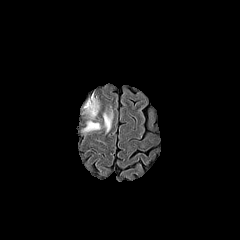
FLAIR magnetic resonance.
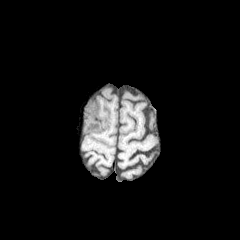
T1-weighted magnetic resonance of the same slice.
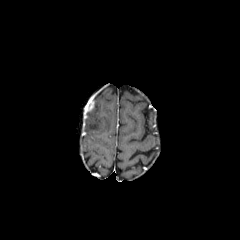
Same slice, post-contrast T1-weighted MRI.
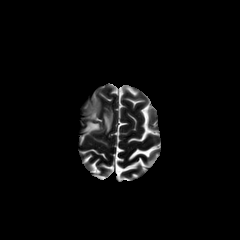
T2-weighted MRI of the same slice.
240x240. Axial plane.
* enhancing tumor: x1=84, y1=96, x2=94, y2=113
* peritumoral edema: x1=88, y1=99, x2=99, y2=118; x1=103, y1=111, x2=112, y2=132; x1=84, y1=120, x2=100, y2=131